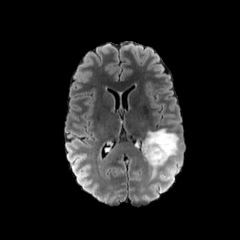
FLAIR magnetic resonance.
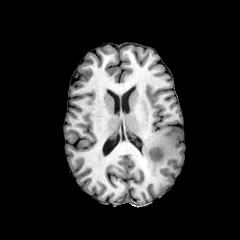
T1-weighted MR.
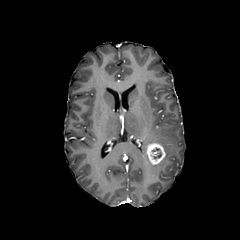
Post-contrast T1-weighted magnetic resonance of the same slice.
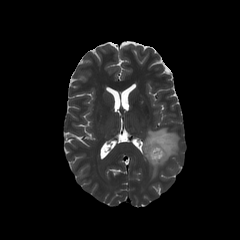
T2-weighted MR image.
Image size 240x240
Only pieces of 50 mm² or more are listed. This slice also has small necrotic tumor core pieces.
{"enhancing_tumor": ["(x1=146, y1=143, x2=165, y2=164)"], "peritumoral_edema": ["(x1=143, y1=128, x2=178, y2=174)"]}